FLAIR MR image.
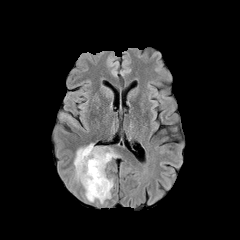
T1-weighted MRI.
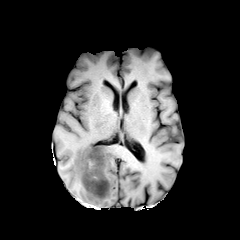
Post-contrast T1-weighted MR image.
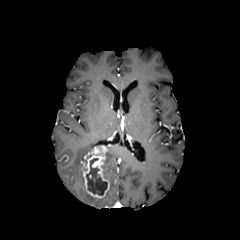
T2-weighted MR.
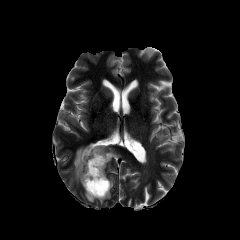
240x240 px
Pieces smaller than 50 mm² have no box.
enhancing_tumor:
  - box=[81, 146, 110, 198]
necrotic_tumor_core:
  - box=[86, 158, 107, 195]
peritumoral_edema:
  - box=[85, 179, 113, 203]
  - box=[74, 143, 94, 186]
  - box=[103, 148, 117, 178]